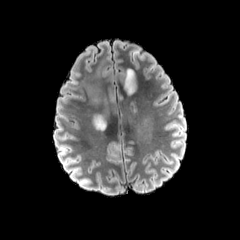
FLAIR magnetic resonance.
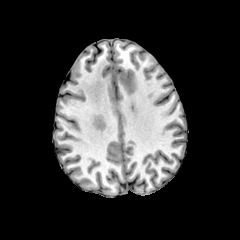
T1-weighted MRI.
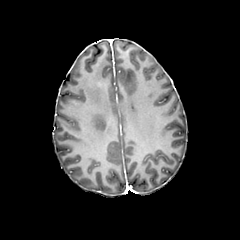
Post-contrast T1-weighted magnetic resonance.
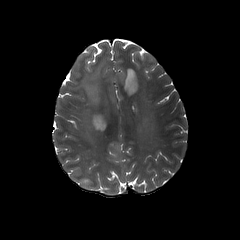
Same slice, T2-weighted MR.
240x240 px, Axial slice
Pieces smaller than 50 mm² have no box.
peritumoral_edema:
  - [x1=78, y1=58, x2=115, y2=131]
  - [x1=124, y1=68, x2=138, y2=96]